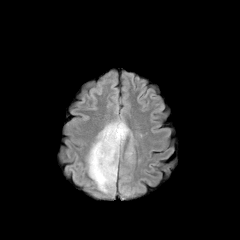
FLAIR MR image.
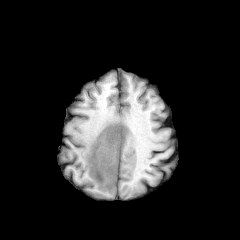
Same slice, T1-weighted MR.
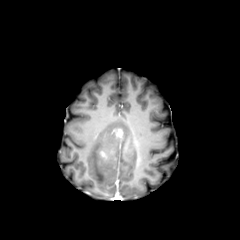
Same slice, post-contrast T1-weighted MRI.
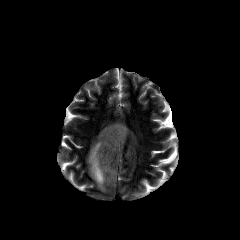
Same slice, T2-weighted MR.
Head
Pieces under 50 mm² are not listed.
The peritumoral edema lies within <box>87,120,133,193</box>. The largest enhancing tumor region lies within <box>116,129,122,137</box>.